FLAIR magnetic resonance.
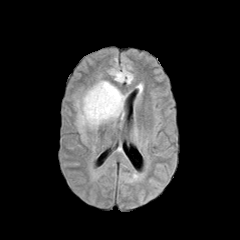
T1-weighted MRI.
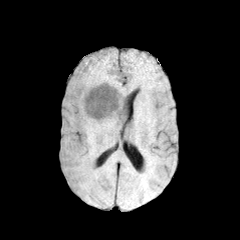
Post-contrast T1-weighted MRI.
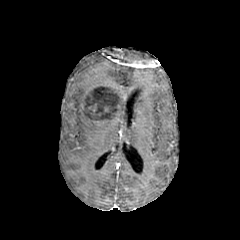
T2-weighted magnetic resonance.
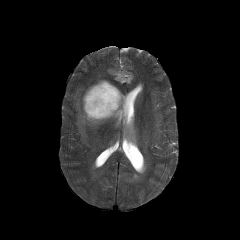
Image size 240x240; Axial view
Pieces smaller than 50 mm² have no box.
necrotic tumor core at 86,85,119,120
peritumoral edema at 108,67,133,84; 75,80,124,132
enhancing tumor at 106,101,120,118; 110,86,122,100; 86,104,96,118